Axial view. Image covers 240 mm x 240 mm. 240x240. Slice 64 of 155.
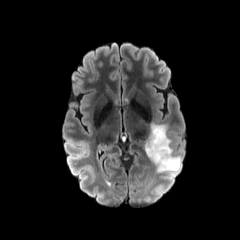
FLAIR MR.
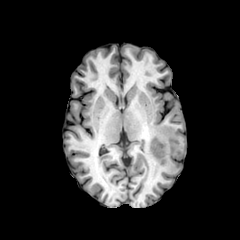
T1-weighted MR.
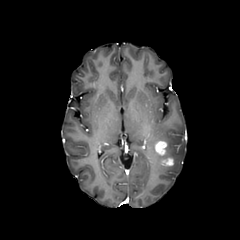
Post-contrast T1-weighted MR.
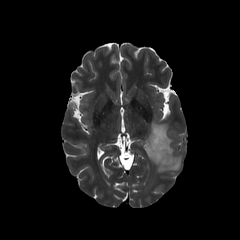
T2-weighted MR.
The enhancing tumor appears at (left=153, top=141, right=173, bottom=165). The peritumoral edema appears at (left=145, top=122, right=181, bottom=178).